FLAIR MR image.
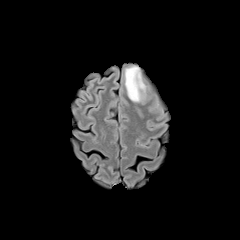
T1-weighted MR image.
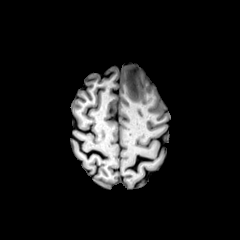
Post-contrast T1-weighted MRI.
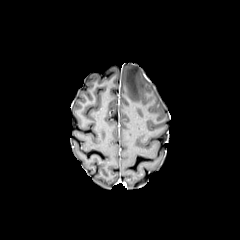
T2-weighted MRI.
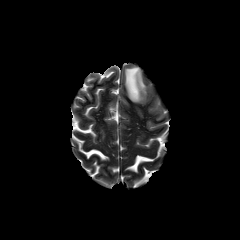
Head
peritumoral edema = 125 66 145 102